FLAIR magnetic resonance.
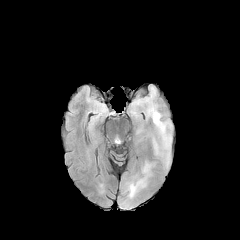
T1-weighted MRI.
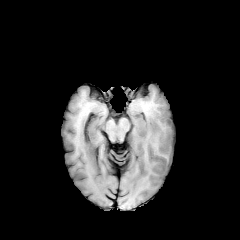
Post-contrast T1-weighted magnetic resonance.
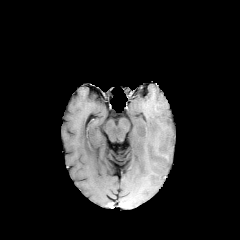
T2-weighted magnetic resonance.
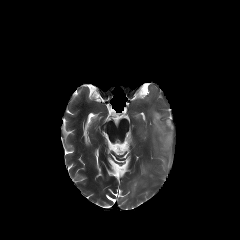
Brain.
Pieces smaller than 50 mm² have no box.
peritumoral_edema:
  - {"x1": 152, "y1": 111, "x2": 171, "y2": 147}